FLAIR MR image.
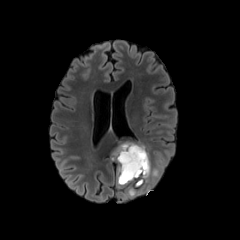
T1-weighted MR image.
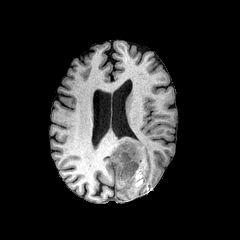
Post-contrast T1-weighted magnetic resonance.
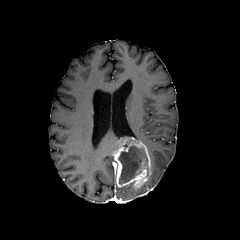
T2-weighted MR.
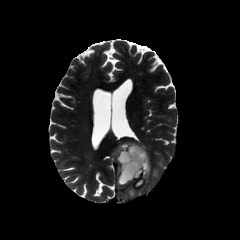
Axial plane
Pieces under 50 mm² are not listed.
enhancing tumor: bounding box left=111, top=139, right=151, bottom=188
peritumoral edema: bounding box left=145, top=167, right=160, bottom=184; left=127, top=187, right=136, bottom=196
necrotic tumor core: bounding box left=118, top=146, right=147, bottom=183